FLAIR MRI.
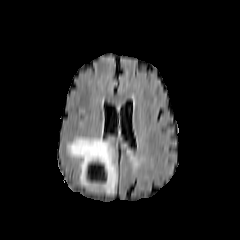
T1-weighted MRI.
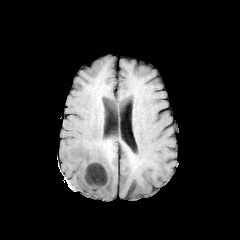
Post-contrast T1-weighted MR image.
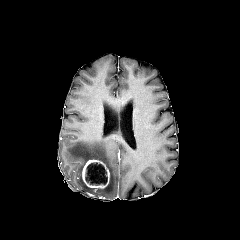
T2-weighted MR image.
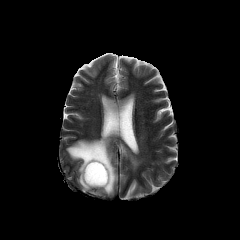
Brain
The enhancing tumor appears at 82 159 109 188. The peritumoral edema lies within 67 136 117 194. The necrotic tumor core is located at 85 162 107 185.